Brain, Image width 240 mm, 1.00 mm slice spacing, Axial plane
FLAIR MR image.
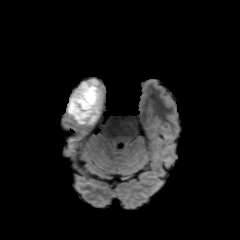
T1-weighted MR image.
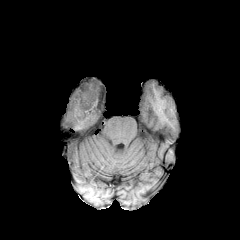
Post-contrast T1-weighted MR.
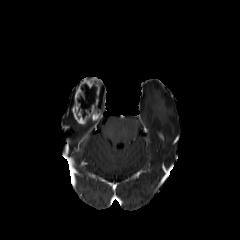
T2-weighted MR.
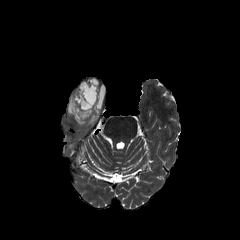
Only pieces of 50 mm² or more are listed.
<segmentation>
  <enhancing_tumor>71, 77, 101, 124</enhancing_tumor>
  <peritumoral_edema>67, 90, 75, 118; 78, 120, 95, 126</peritumoral_edema>
  <necrotic_tumor_core>77, 84, 96, 117; 97, 86, 104, 108</necrotic_tumor_core>
</segmentation>